FLAIR MR.
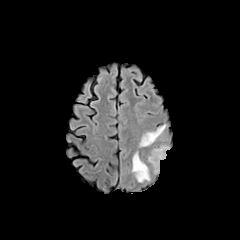
T1-weighted MRI.
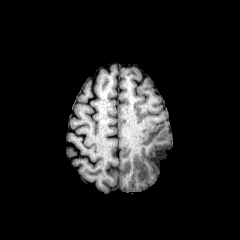
Post-contrast T1-weighted magnetic resonance.
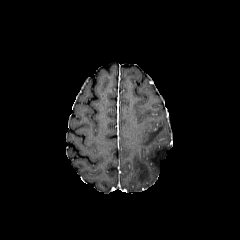
T2-weighted MRI.
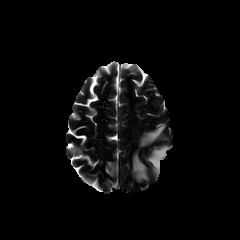
Head | Axial plane
Annotated regions:
- peritumoral edema: region(140, 125, 165, 146); region(149, 146, 168, 172); region(132, 152, 149, 182)